Axial slice; Image size 240x240; Head
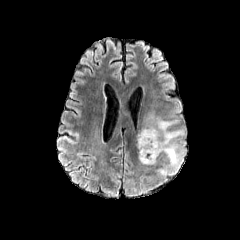
FLAIR magnetic resonance.
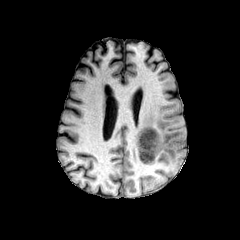
T1-weighted MR image of the same slice.
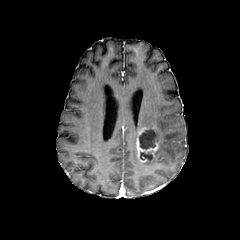
Post-contrast T1-weighted MR.
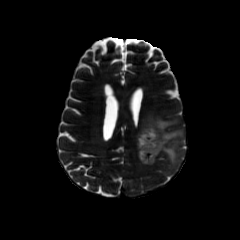
Same slice, T2-weighted MR image.
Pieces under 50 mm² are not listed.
The largest peritumoral edema region lies within 142 111 185 174. 2 necrotic tumor core regions are located at 139 129 157 149, 140 152 152 160. The largest enhancing tumor region lies within 136 126 161 162.